Slice index 53; Axial slice
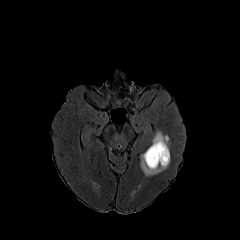
FLAIR MRI.
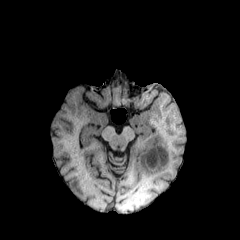
T1-weighted MRI.
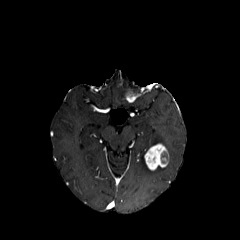
Post-contrast T1-weighted magnetic resonance.
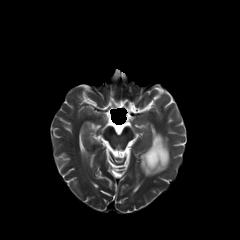
T2-weighted MR.
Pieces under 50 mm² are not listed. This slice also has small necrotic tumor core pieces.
Annotated regions:
• enhancing tumor: 144 143 168 170
• peritumoral edema: 140 131 170 176